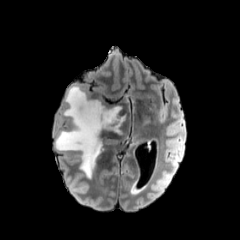
FLAIR MRI.
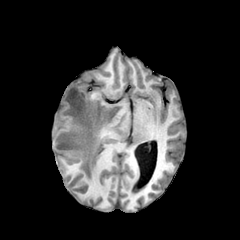
T1-weighted MR of the same slice.
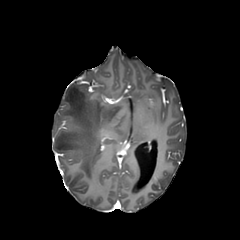
Post-contrast T1-weighted MR image.
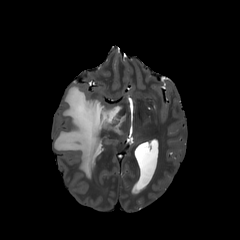
T2-weighted MR.
Brain
<segmentation>
  <peritumoral_edema>55,85,126,178</peritumoral_edema>
</segmentation>